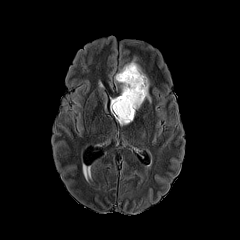
FLAIR MR image.
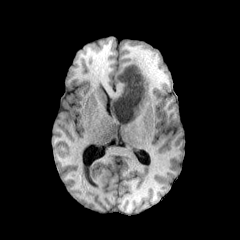
T1-weighted magnetic resonance.
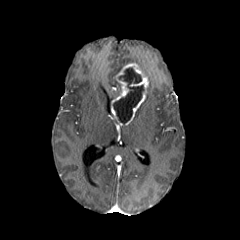
Same slice, post-contrast T1-weighted MR image.
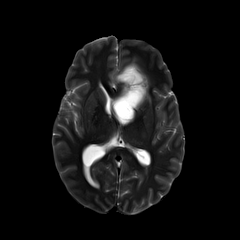
T2-weighted MR image.
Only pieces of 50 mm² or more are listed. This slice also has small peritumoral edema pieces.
necrotic_tumor_core:
  - [113, 67, 144, 124]
enhancing_tumor:
  - [111, 63, 148, 125]